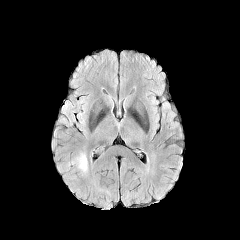
FLAIR magnetic resonance.
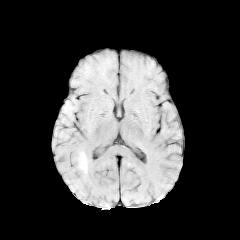
T1-weighted magnetic resonance.
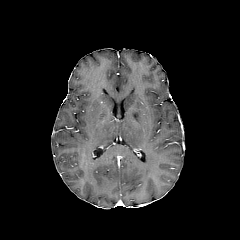
Post-contrast T1-weighted magnetic resonance.
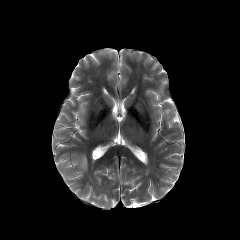
T2-weighted MR of the same slice.
Brain. Axial slice.
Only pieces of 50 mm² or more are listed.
The largest peritumoral edema region lies within 66,153,87,175.